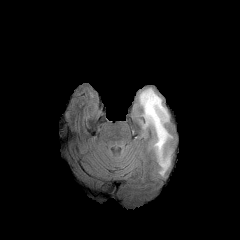
FLAIR MR image.
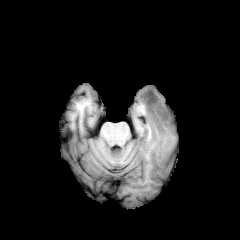
T1-weighted MR image.
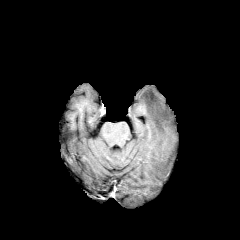
Post-contrast T1-weighted MR.
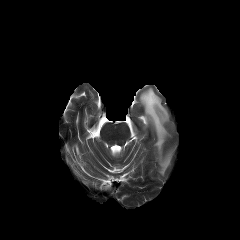
T2-weighted MR.
Head. Image size 240x240. Axial plane.
{
  "peritumoral_edema": [
    "bbox(139, 88, 171, 175)"
  ]
}